FLAIR MR image.
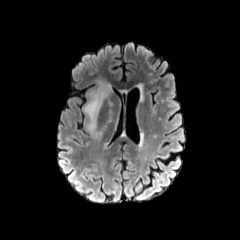
T1-weighted magnetic resonance.
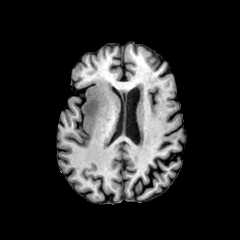
Post-contrast T1-weighted MR.
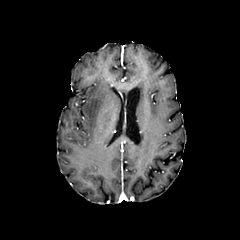
T2-weighted MRI.
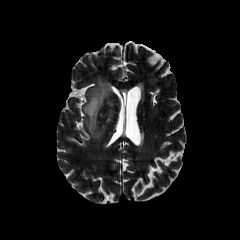
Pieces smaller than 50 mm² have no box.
<segmentation>
  <peritumoral_edema>region(83, 80, 111, 133)</peritumoral_edema>
</segmentation>